Axial slice; Brain
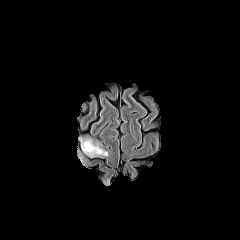
FLAIR MRI.
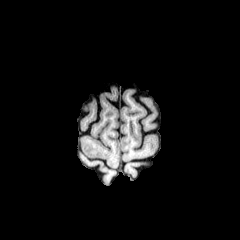
T1-weighted MR.
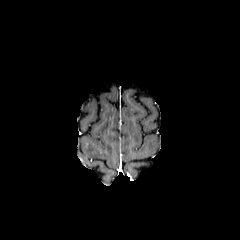
Post-contrast T1-weighted MR image.
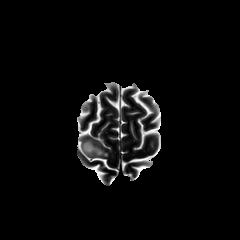
Same slice, T2-weighted MRI.
The peritumoral edema is at 81, 139, 107, 156.